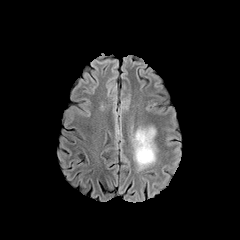
FLAIR MR.
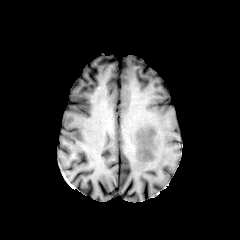
Same slice, T1-weighted MR image.
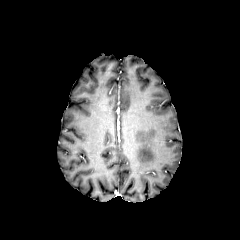
Post-contrast T1-weighted MR image.
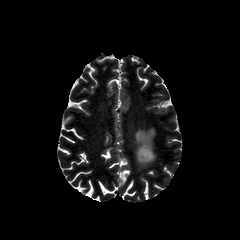
T2-weighted MRI.
Head.
The peritumoral edema appears at x1=134, y1=128, x2=155, y2=168.